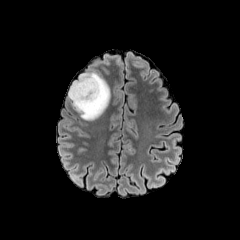
FLAIR magnetic resonance.
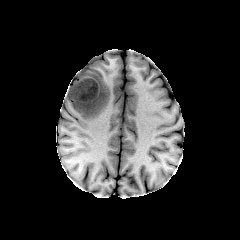
T1-weighted MRI.
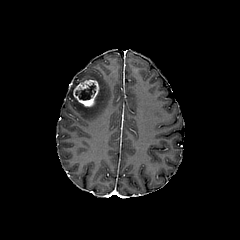
Post-contrast T1-weighted magnetic resonance of the same slice.
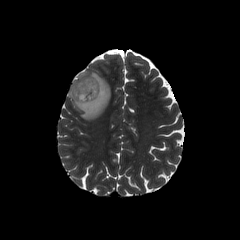
Same slice, T2-weighted MRI.
Axial view | Head
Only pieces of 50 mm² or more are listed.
necrotic tumor core at (left=75, top=83, right=95, bottom=100)
peritumoral edema at (left=68, top=72, right=110, bottom=120)
enhancing tumor at (left=73, top=79, right=99, bottom=107)